Image width 240 mm | Axial slice | Brain
FLAIR magnetic resonance.
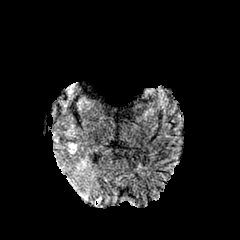
T1-weighted MR image.
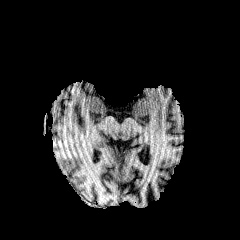
Post-contrast T1-weighted MR image.
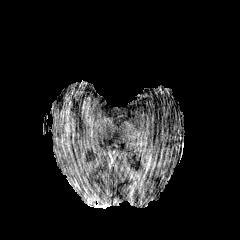
T2-weighted magnetic resonance.
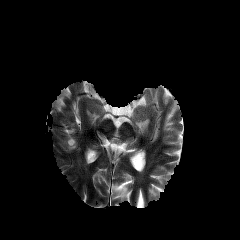
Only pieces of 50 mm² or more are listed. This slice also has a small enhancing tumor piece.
<segmentation>
  <peritumoral_edema>[68, 142, 76, 152]</peritumoral_edema>
</segmentation>